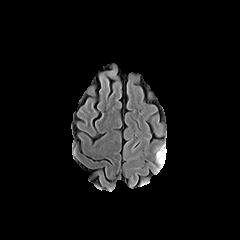
FLAIR MR image.
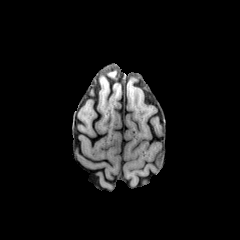
Same slice, T1-weighted MR.
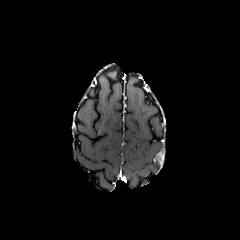
Post-contrast T1-weighted MRI.
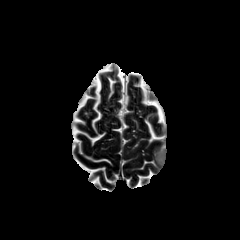
Same slice, T2-weighted MR image.
Brain.
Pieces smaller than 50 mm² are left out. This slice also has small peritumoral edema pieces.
The enhancing tumor is bounded by 156:148:164:164.